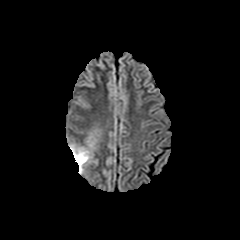
FLAIR MR image.
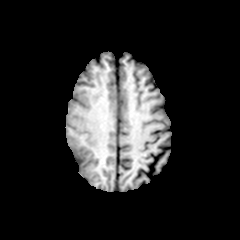
Same slice, T1-weighted MR.
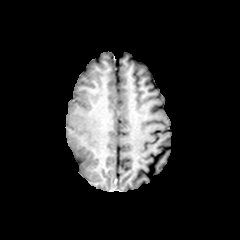
Post-contrast T1-weighted MRI.
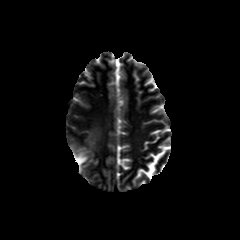
T2-weighted MR.
Brain, Axial plane
peritumoral edema = left=70, top=145, right=89, bottom=173